Slice 125/155; Image covers 240 mm x 240 mm
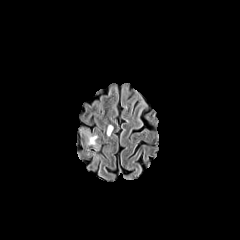
FLAIR MR image.
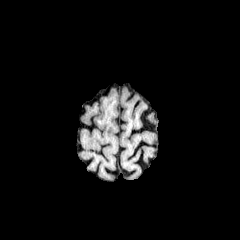
T1-weighted magnetic resonance.
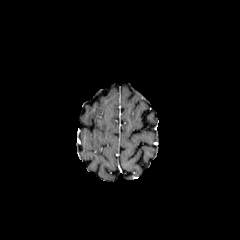
Post-contrast T1-weighted MR.
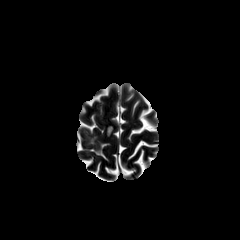
T2-weighted MR image.
<segmentation>
  <peritumoral_edema>x1=85 y1=133 x2=97 y2=145, x1=107 y1=125 x2=113 y2=136</peritumoral_edema>
</segmentation>